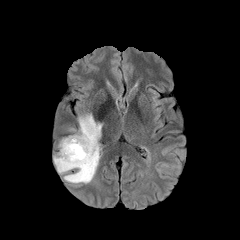
FLAIR magnetic resonance.
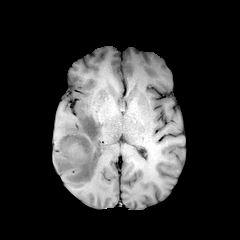
Same slice, T1-weighted magnetic resonance.
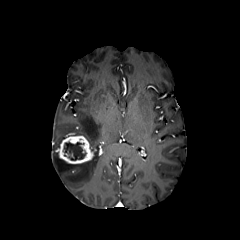
Post-contrast T1-weighted MRI.
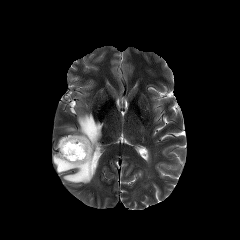
T2-weighted magnetic resonance.
240x240.
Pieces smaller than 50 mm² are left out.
<segmentation>
  <enhancing_tumor>box=[58, 134, 93, 164]</enhancing_tumor>
  <necrotic_tumor_core>box=[64, 142, 85, 160]</necrotic_tumor_core>
  <peritumoral_edema>box=[53, 114, 102, 183]</peritumoral_edema>
</segmentation>